FLAIR MR.
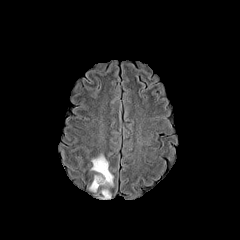
T1-weighted magnetic resonance.
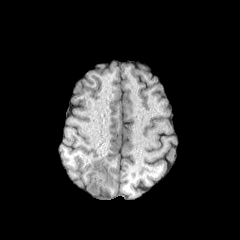
Post-contrast T1-weighted MR image.
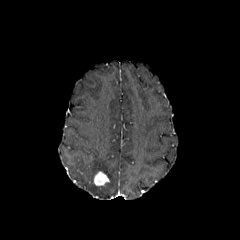
T2-weighted MR.
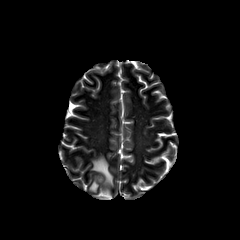
Axial view | Brain
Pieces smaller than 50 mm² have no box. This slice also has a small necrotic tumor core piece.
peritumoral edema: 91:154:113:199, 89:179:100:192
enhancing tumor: 94:171:109:185